Slice 74/155, 240x240 px
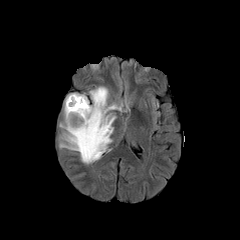
FLAIR MRI.
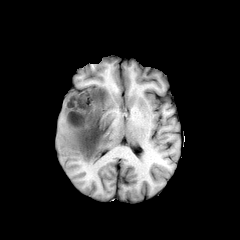
Same slice, T1-weighted magnetic resonance.
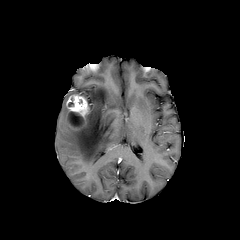
Post-contrast T1-weighted magnetic resonance.
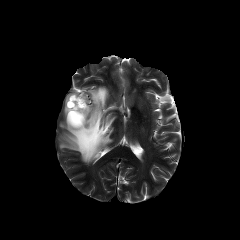
T2-weighted MR.
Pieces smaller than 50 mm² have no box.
enhancing tumor — [x1=65, y1=94, x2=89, y2=129]
necrotic tumor core — [x1=68, y1=111, x2=83, y2=125]
peritumoral edema — [x1=59, y1=86, x2=121, y2=164]